Slice 70/155. 240x240 px. Brain.
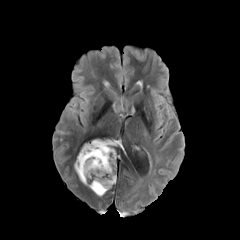
FLAIR MRI.
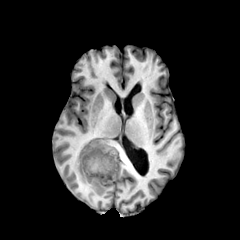
T1-weighted magnetic resonance.
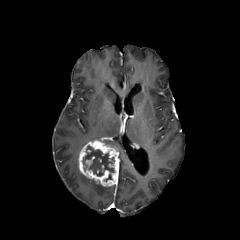
Post-contrast T1-weighted MRI.
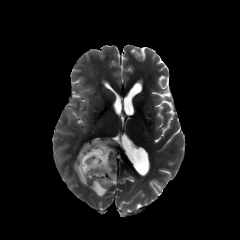
T2-weighted magnetic resonance.
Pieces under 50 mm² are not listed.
{
  "necrotic_tumor_core": [
    "(left=83, top=146, right=114, bottom=176)"
  ],
  "peritumoral_edema": [
    "(left=89, top=181, right=110, bottom=196)",
    "(left=74, top=155, right=86, bottom=184)",
    "(left=96, top=139, right=118, bottom=145)"
  ],
  "enhancing_tumor": [
    "(left=78, top=140, right=118, bottom=186)"
  ]
}